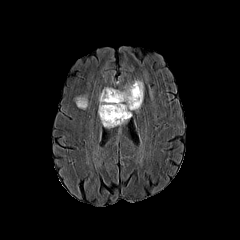
FLAIR MR image.
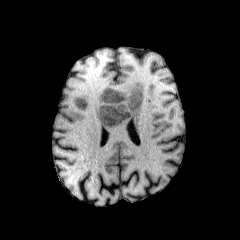
T1-weighted MRI.
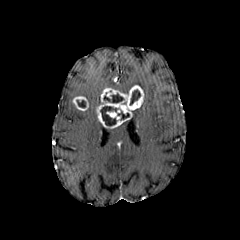
Same slice, post-contrast T1-weighted MRI.
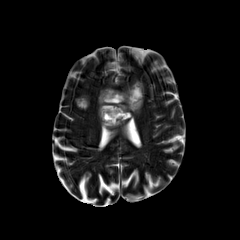
T2-weighted magnetic resonance.
Image size 240x240. Brain.
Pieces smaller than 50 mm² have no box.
peritumoral edema at 123,80,144,91
necrotic tumor core at 100,106,116,126; 103,93,124,102; 118,111,129,119; 129,90,140,105; 76,100,85,107
enhancing tumor at 97,85,143,128; 73,96,88,110